240x240, Slice index 121, Image covers 240 mm x 240 mm
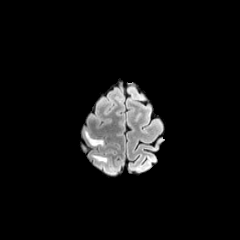
FLAIR MR image.
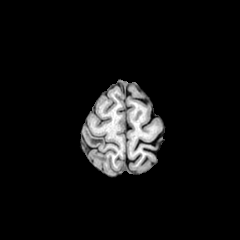
T1-weighted magnetic resonance of the same slice.
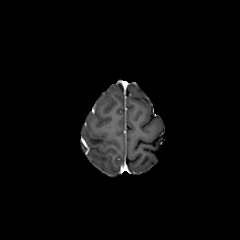
Post-contrast T1-weighted MR.
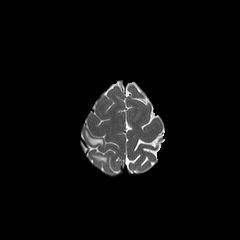
Same slice, T2-weighted magnetic resonance.
peritumoral edema: (left=93, top=155, right=106, bottom=161), (left=84, top=130, right=103, bottom=145)